Brain
FLAIR MRI.
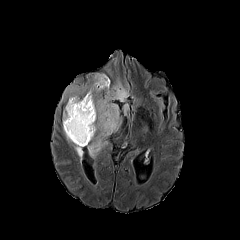
T1-weighted MR.
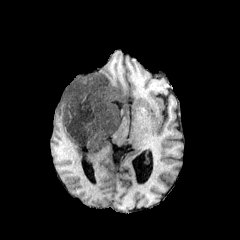
Post-contrast T1-weighted MR image.
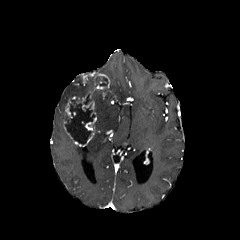
T2-weighted MR.
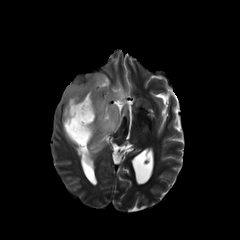
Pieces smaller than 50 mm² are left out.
3 necrotic tumor core regions are bounded by bbox(65, 99, 94, 144); bbox(83, 94, 91, 105); bbox(99, 77, 107, 86). The 4 largest peritumoral edema regions appear at bbox(63, 127, 82, 159); bbox(123, 105, 128, 115); bbox(60, 76, 90, 103); bbox(87, 78, 129, 157). The largest enhancing tumor region appears at bbox(63, 73, 110, 146).